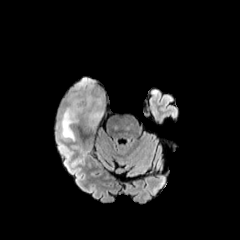
FLAIR magnetic resonance.
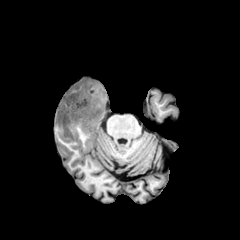
T1-weighted magnetic resonance of the same slice.
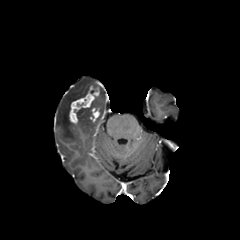
Same slice, post-contrast T1-weighted magnetic resonance.
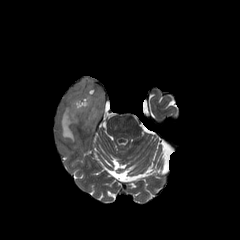
T2-weighted magnetic resonance.
Image size 240x240
2 enhancing tumor regions appear at box(69, 86, 99, 123); box(89, 106, 99, 121). 2 peritumoral edema regions appear at box(68, 78, 105, 130); box(60, 106, 75, 141).